FLAIR MR image.
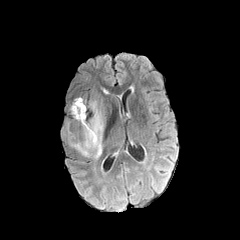
T1-weighted MR image.
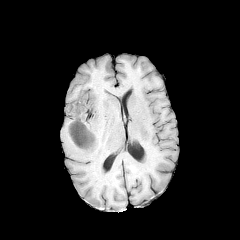
Post-contrast T1-weighted MR image.
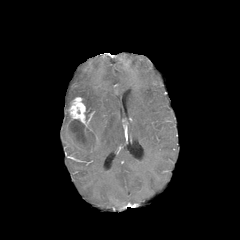
T2-weighted MR image.
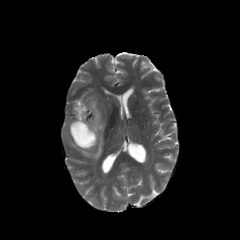
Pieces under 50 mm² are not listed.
<segmentation>
  <necrotic_tumor_core>(left=70, top=120, right=95, bottom=147)</necrotic_tumor_core>
  <peritumoral_edema>(left=74, top=99, right=104, bottom=159)</peritumoral_edema>
  <enhancing_tumor>(left=69, top=97, right=93, bottom=133)</enhancing_tumor>
</segmentation>